Slice 83 of 155, Brain
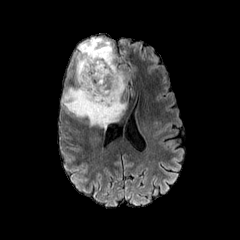
FLAIR MRI.
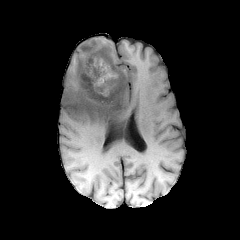
T1-weighted MRI.
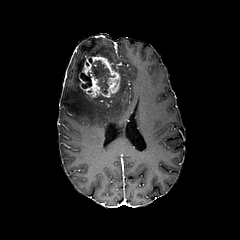
Post-contrast T1-weighted MR.
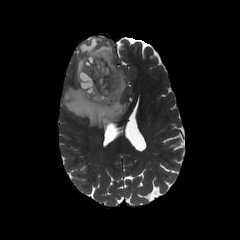
Same slice, T2-weighted MR.
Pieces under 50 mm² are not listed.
The peritumoral edema is located at box=[61, 37, 126, 128]. The 2 largest necrotic tumor core regions are located at box=[80, 72, 91, 88]; box=[89, 59, 114, 93]. The largest enhancing tumor region appears at box=[79, 55, 120, 99].